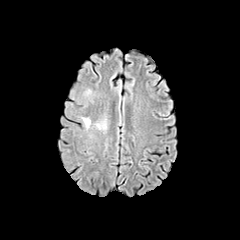
FLAIR MR.
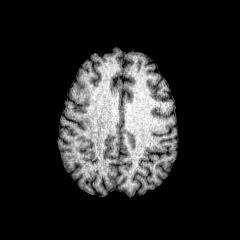
Same slice, T1-weighted MR.
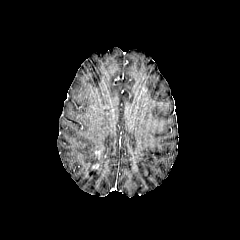
Post-contrast T1-weighted MR image.
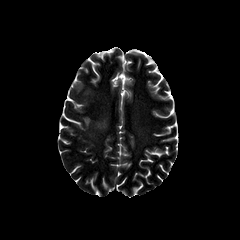
T2-weighted MRI.
240x240
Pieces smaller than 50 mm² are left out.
The 2 largest peritumoral edema regions are bounded by [82,117,90,128], [94,118,107,130].